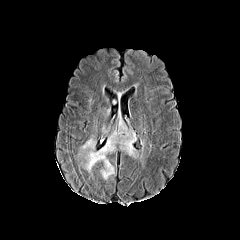
FLAIR MRI.
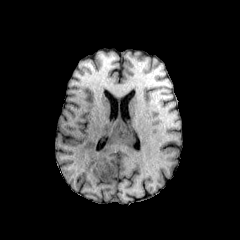
T1-weighted MR.
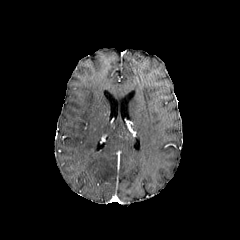
Post-contrast T1-weighted MR image.
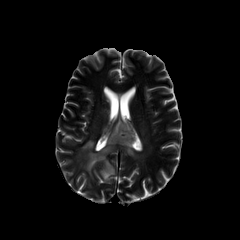
Same slice, T2-weighted MR image.
Brain | Axial plane
peritumoral edema at [81,121,135,179]